FLAIR MRI.
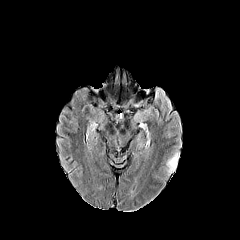
T1-weighted magnetic resonance.
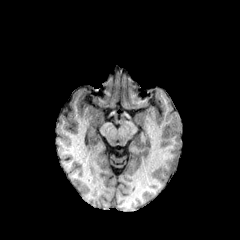
Post-contrast T1-weighted MR.
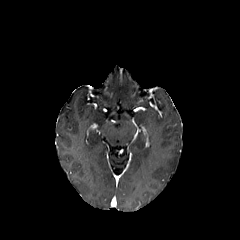
T2-weighted magnetic resonance.
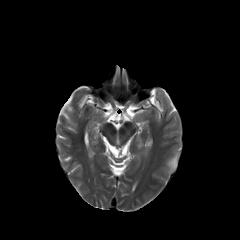
Brain, 240x240 px
peritumoral_edema:
  - [x1=167, y1=153, x2=178, y2=172]